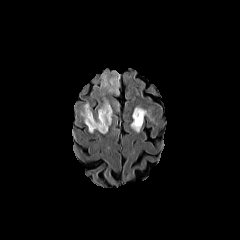
FLAIR MRI.
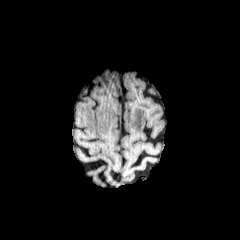
Same slice, T1-weighted MR image.
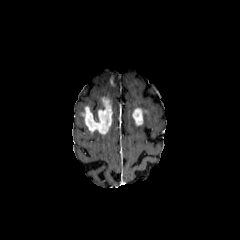
Post-contrast T1-weighted magnetic resonance.
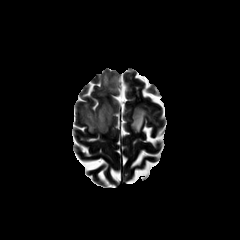
Same slice, T2-weighted MR image.
Head, Image size 240x240
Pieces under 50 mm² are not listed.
enhancing tumor: bounding box 82:97:112:134, 132:108:143:125
peritumoral edema: bounding box 130:119:142:132, 135:106:154:122, 99:71:119:95, 80:102:89:120